Slice 94 of 155. 240x240 px.
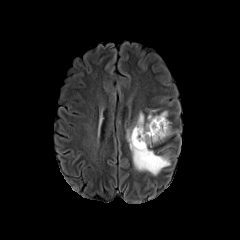
FLAIR MR image.
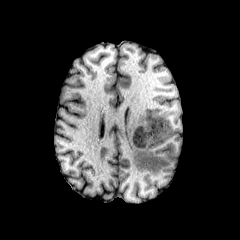
Same slice, T1-weighted MR image.
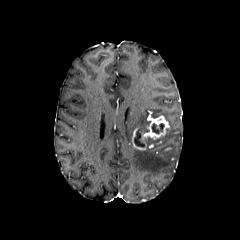
Post-contrast T1-weighted MR image of the same slice.
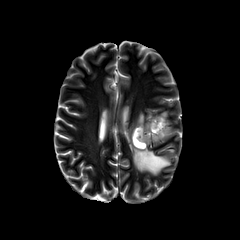
Same slice, T2-weighted MR image.
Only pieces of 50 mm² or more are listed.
{"enhancing_tumor": ["x1=132, y1=115, x2=169, y2=150"], "peritumoral_edema": ["x1=126, y1=112, x2=170, y2=175"], "necrotic_tumor_core": ["x1=152, y1=123, x2=164, y2=133", "x1=134, y1=127, x2=144, y2=147"]}